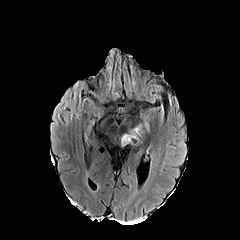
FLAIR MRI.
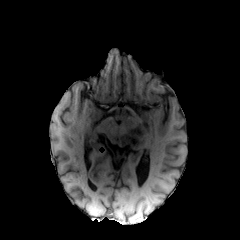
Same slice, T1-weighted MRI.
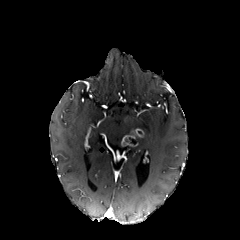
Post-contrast T1-weighted magnetic resonance.
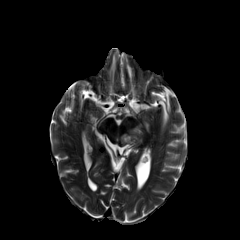
T2-weighted MRI.
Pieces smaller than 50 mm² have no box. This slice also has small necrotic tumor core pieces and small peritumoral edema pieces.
enhancing tumor — box(121, 135, 138, 146)